Slice index 100. Brain.
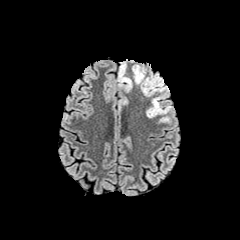
FLAIR MR.
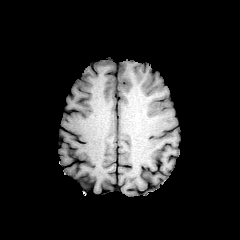
Same slice, T1-weighted MRI.
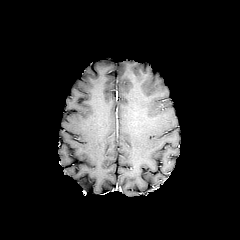
Post-contrast T1-weighted magnetic resonance of the same slice.
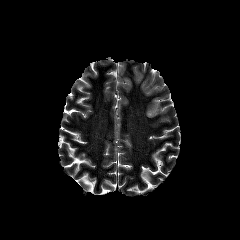
T2-weighted MR.
Annotated regions:
- peritumoral edema: 132, 66, 166, 95; 146, 96, 171, 117; 118, 62, 132, 91; 158, 116, 169, 122